FLAIR MRI.
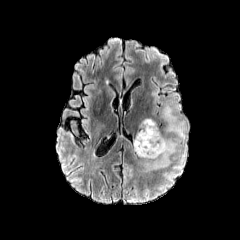
T1-weighted MRI.
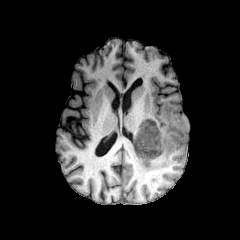
Post-contrast T1-weighted MR image.
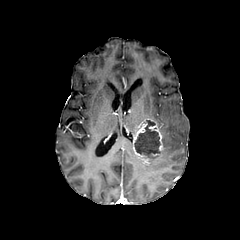
T2-weighted magnetic resonance.
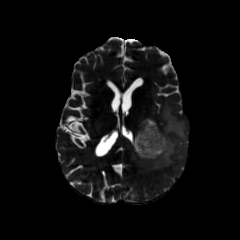
Image size 240x240.
The enhancing tumor is bounded by 133:118:163:163. The necrotic tumor core is bounded by 134:120:160:155. The peritumoral edema lies within 142:103:187:170.